FLAIR magnetic resonance.
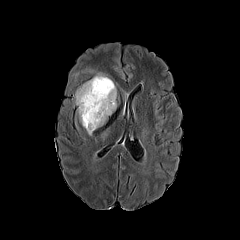
T1-weighted MRI.
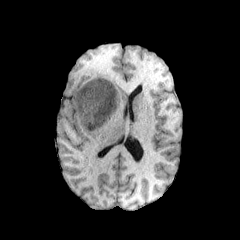
Post-contrast T1-weighted MR.
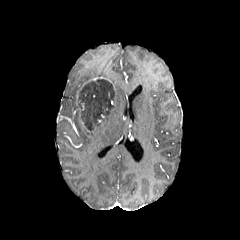
T2-weighted magnetic resonance.
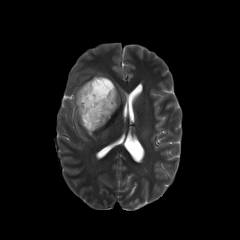
240x240.
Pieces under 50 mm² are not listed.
necrotic tumor core — 78:79:115:130
enhancing tumor — 86:76:115:91
peritumoral edema — 74:83:87:129, 88:101:116:135